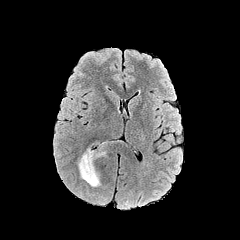
FLAIR magnetic resonance.
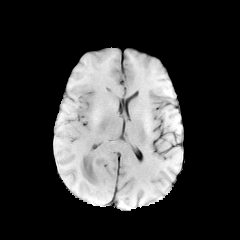
T1-weighted MRI.
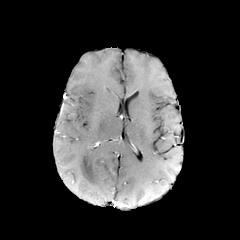
Same slice, post-contrast T1-weighted MR image.
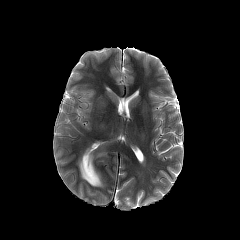
T2-weighted MRI.
The peritumoral edema lies within {"x1": 77, "y1": 141, "x2": 107, "y2": 187}.